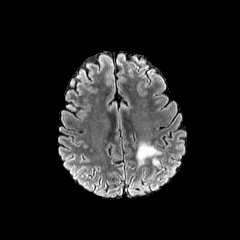
FLAIR magnetic resonance.
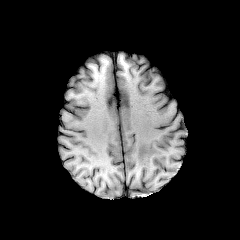
T1-weighted MR.
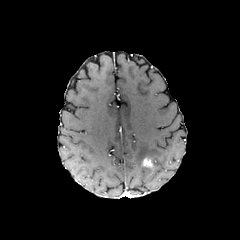
Post-contrast T1-weighted MR image.
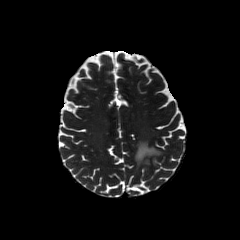
T2-weighted MRI.
Image size 240x240. Brain.
The peritumoral edema appears at (136, 142, 161, 165). The enhancing tumor is at (142, 158, 152, 166).